Axial slice, 240x240 px, Brain
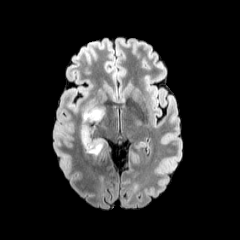
FLAIR magnetic resonance.
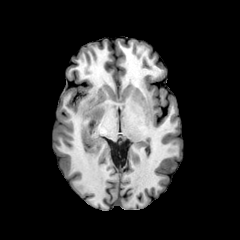
T1-weighted MR image.
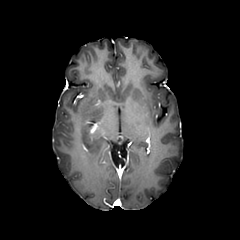
Post-contrast T1-weighted MRI of the same slice.
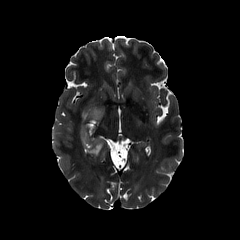
Same slice, T2-weighted MRI.
Annotated regions:
* peritumoral edema: (x1=80, y1=103, x2=104, y2=156)